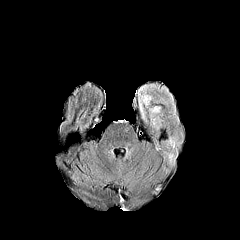
FLAIR MR.
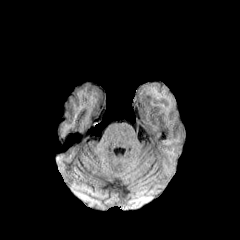
T1-weighted MR.
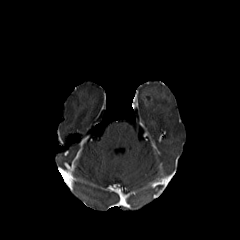
Post-contrast T1-weighted MRI.
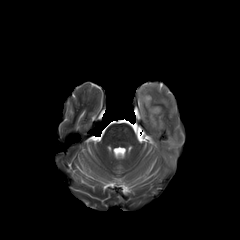
T2-weighted magnetic resonance.
Image size 240x240, Axial plane, Brain
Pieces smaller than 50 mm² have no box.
The 4 largest peritumoral edema regions appear at bbox=[138, 86, 151, 119]; bbox=[166, 153, 174, 163]; bbox=[149, 107, 160, 115]; bbox=[168, 137, 179, 148].